FLAIR magnetic resonance.
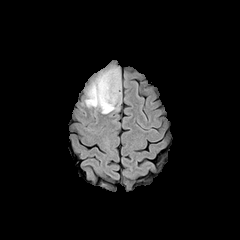
T1-weighted magnetic resonance.
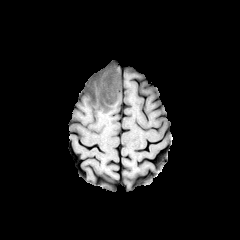
Post-contrast T1-weighted MR.
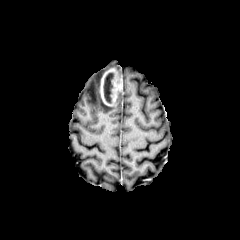
T2-weighted magnetic resonance.
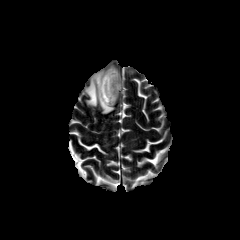
Axial slice, 240x240
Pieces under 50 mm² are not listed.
enhancing tumor = box=[99, 68, 121, 105]
peritumoral edema = box=[85, 70, 121, 113]
necrotic tumor core = box=[103, 72, 114, 103]